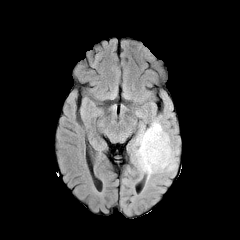
FLAIR MR image.
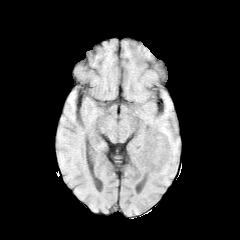
T1-weighted MRI.
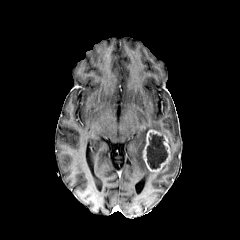
Post-contrast T1-weighted MR.
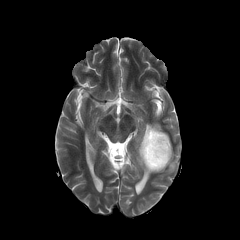
T2-weighted MR image.
Axial slice
necrotic tumor core at rect(146, 133, 167, 168)
peritumoral edema at rect(135, 120, 177, 177)
enhancing tumor at rect(142, 129, 171, 172)